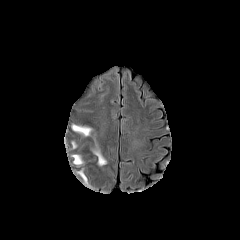
FLAIR MR image.
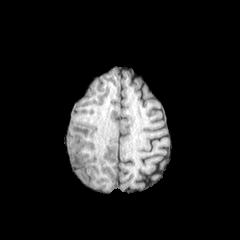
T1-weighted MRI.
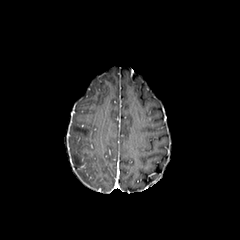
Post-contrast T1-weighted magnetic resonance.
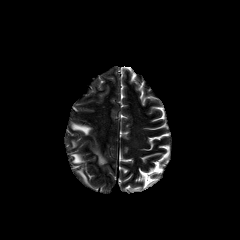
T2-weighted MRI.
Axial plane
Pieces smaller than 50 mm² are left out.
• peritumoral edema: rect(78, 170, 87, 183); rect(94, 149, 106, 165); rect(71, 123, 92, 136); rect(72, 154, 82, 164)